Slice 107/155
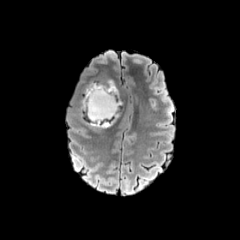
FLAIR MR.
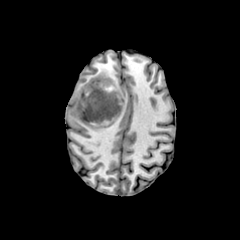
T1-weighted MR.
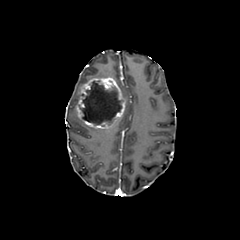
Post-contrast T1-weighted magnetic resonance.
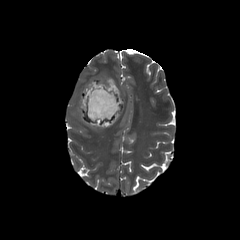
Same slice, T2-weighted MRI.
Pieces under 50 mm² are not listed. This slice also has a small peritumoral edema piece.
{
  "necrotic_tumor_core": [
    "x1=80 y1=81 x2=121 y2=125"
  ],
  "enhancing_tumor": [
    "x1=75 y1=77 x2=125 y2=128"
  ]
}